FLAIR MR.
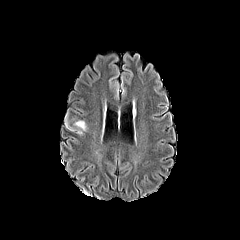
T1-weighted MRI.
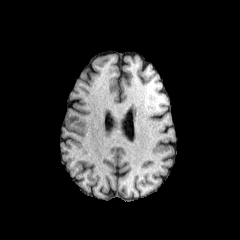
Post-contrast T1-weighted MR image.
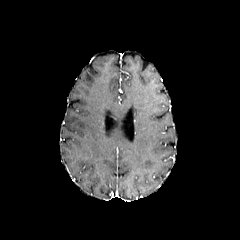
T2-weighted MR.
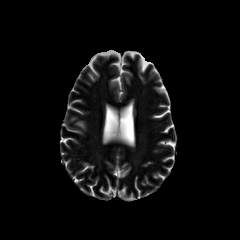
240x240 px; Brain
peritumoral edema: rect(66, 118, 86, 133)